FLAIR MR image.
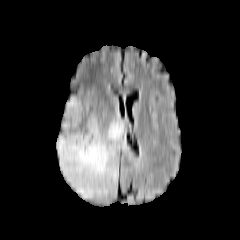
T1-weighted MR image.
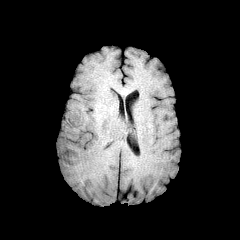
Post-contrast T1-weighted magnetic resonance.
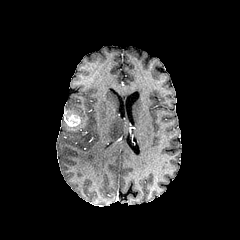
T2-weighted MR image.
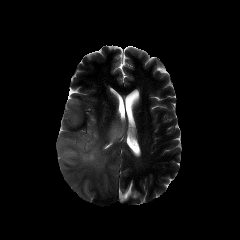
240x240 px | Head
{
  "enhancing_tumor": [
    "x1=64 y1=110 x2=81 y2=129"
  ],
  "peritumoral_edema": [
    "x1=56 y1=114 x2=127 y2=199",
    "x1=64 y1=97 x2=81 y2=117"
  ]
}